Image width 240 mm; Slice 100 of 155; Brain; 240x240
FLAIR magnetic resonance.
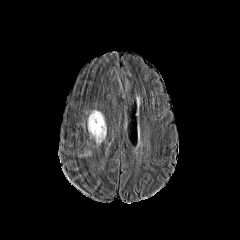
T1-weighted MR image.
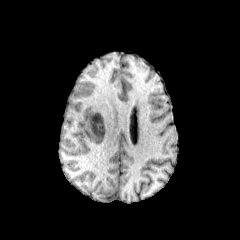
Post-contrast T1-weighted MR.
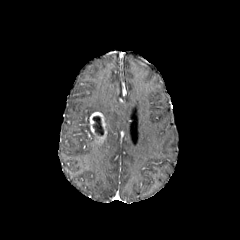
T2-weighted magnetic resonance.
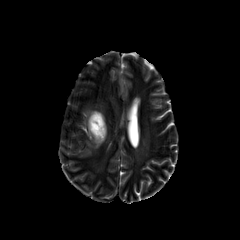
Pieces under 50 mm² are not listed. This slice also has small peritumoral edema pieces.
enhancing tumor = 89, 112, 106, 145
necrotic tumor core = 93, 116, 103, 135